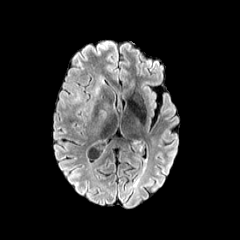
FLAIR MR.
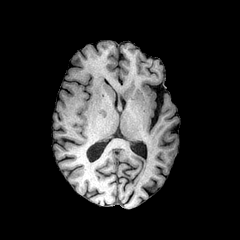
T1-weighted MR of the same slice.
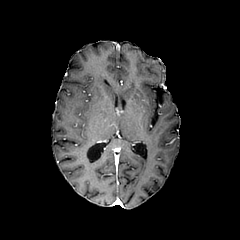
Post-contrast T1-weighted MRI.
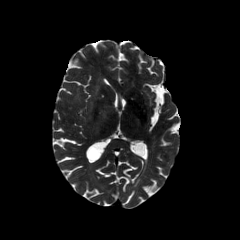
Same slice, T2-weighted MR.
Axial view, Head
Segmented structures:
• peritumoral edema: rect(87, 80, 107, 135)